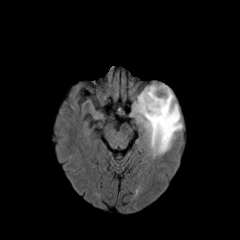
FLAIR magnetic resonance.
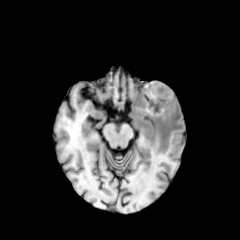
T1-weighted MR image.
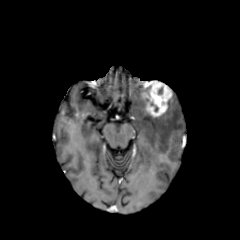
Same slice, post-contrast T1-weighted MR.
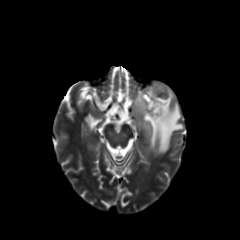
T2-weighted MR.
Axial slice | 240x240
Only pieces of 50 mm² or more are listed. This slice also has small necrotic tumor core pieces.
peritumoral edema: {"x1": 142, "y1": 80, "x2": 157, "y2": 93}, {"x1": 131, "y1": 91, "x2": 183, "y2": 158} | enhancing tumor: {"x1": 141, "y1": 81, "x2": 172, "y2": 118}